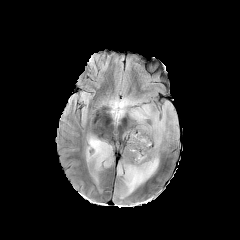
FLAIR MRI.
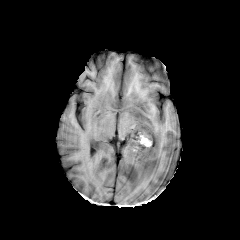
T1-weighted MR of the same slice.
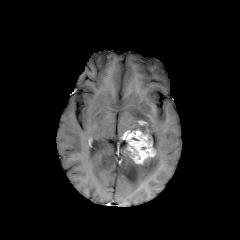
Post-contrast T1-weighted MR.
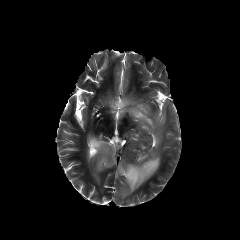
T2-weighted MR image.
Brain. Axial slice.
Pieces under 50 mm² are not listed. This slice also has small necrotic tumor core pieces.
<segmentation>
  <peritumoral_edema><bbox>86, 134, 113, 170</bbox>, <bbox>109, 97, 168, 197</bbox></peritumoral_edema>
  <enhancing_tumor><bbox>122, 129, 155, 164</bbox></enhancing_tumor>
</segmentation>